FLAIR MR.
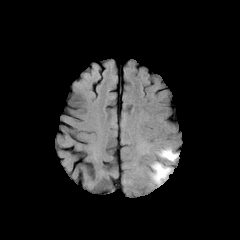
T1-weighted MR.
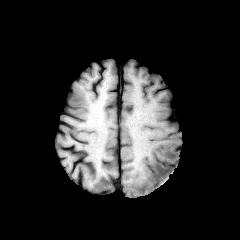
Post-contrast T1-weighted MR.
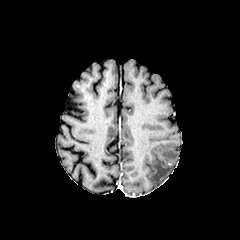
T2-weighted MR image.
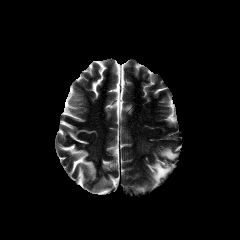
Image size 240x240.
peritumoral_edema:
  - (150, 162, 171, 185)
  - (158, 147, 178, 161)